FLAIR MR image.
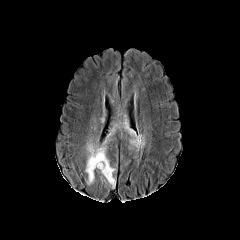
T1-weighted MR.
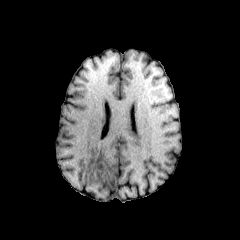
Post-contrast T1-weighted MR image.
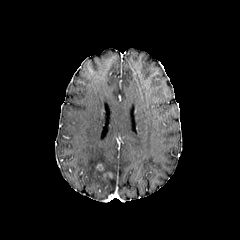
T2-weighted MR.
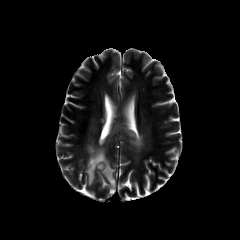
Head
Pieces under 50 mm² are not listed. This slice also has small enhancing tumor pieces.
The 2 largest peritumoral edema regions are bounded by box=[85, 127, 117, 188]; box=[123, 122, 144, 148].